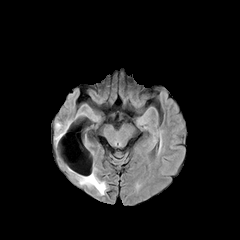
FLAIR MR image.
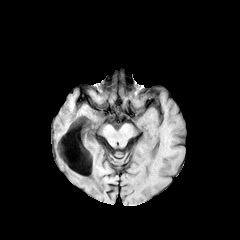
T1-weighted magnetic resonance.
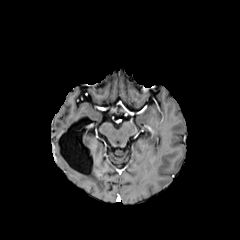
Post-contrast T1-weighted MR.
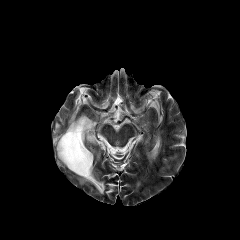
T2-weighted MRI.
Brain, 240x240
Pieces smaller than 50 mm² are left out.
peritumoral edema: bbox(79, 172, 105, 194)